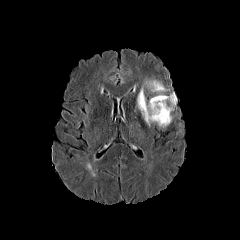
FLAIR MRI.
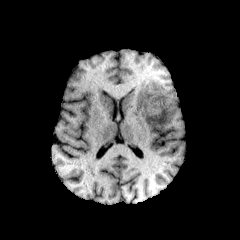
T1-weighted MR.
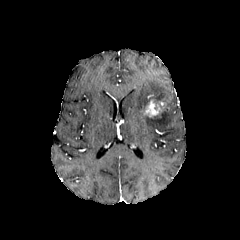
Post-contrast T1-weighted MR image.
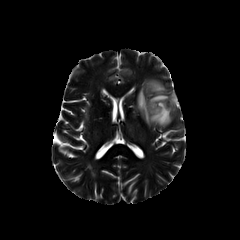
T2-weighted MR.
Axial slice | Brain
Findings:
* enhancing tumor: (142,99,169,117)
* peritumoral edema: (136,79,176,127)